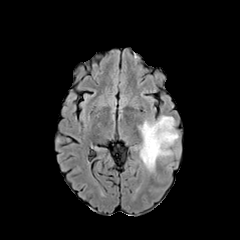
FLAIR MRI.
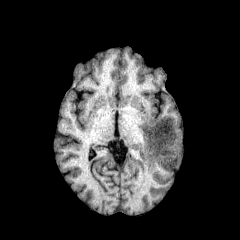
T1-weighted MRI.
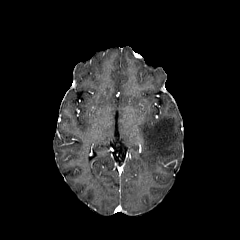
Same slice, post-contrast T1-weighted magnetic resonance.
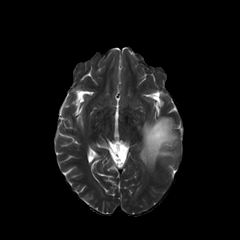
T2-weighted MR image.
Axial view.
peritumoral_edema:
  - 139 116 178 171